Image covers 240 mm x 240 mm. Brain.
FLAIR MR.
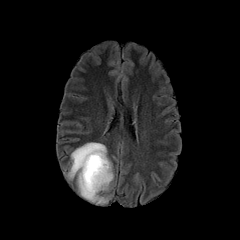
T1-weighted MR image.
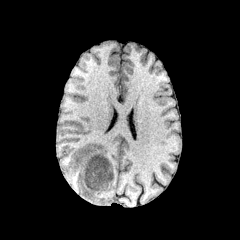
Post-contrast T1-weighted magnetic resonance.
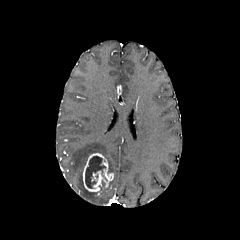
T2-weighted MR.
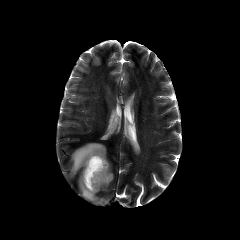
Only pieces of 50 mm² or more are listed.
peritumoral edema: x1=67 y1=142 x2=114 y2=204 | enhancing tumor: x1=82 y1=153 x2=112 y2=191 | necrotic tumor core: x1=85 y1=156 x2=105 y2=188